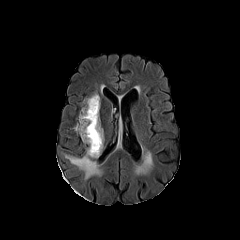
FLAIR MR.
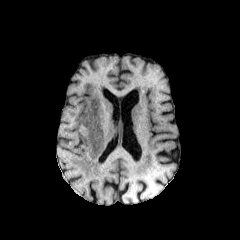
Same slice, T1-weighted MR image.
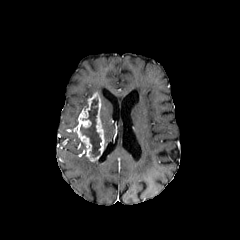
Post-contrast T1-weighted MRI of the same slice.
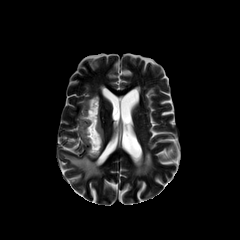
T2-weighted MRI of the same slice.
Image size 240x240; Head
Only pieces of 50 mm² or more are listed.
enhancing tumor — region(74, 92, 104, 161)
necrotic tumor core — region(80, 98, 101, 157)
peritumoral edema — region(64, 154, 101, 179)